Axial slice | Head
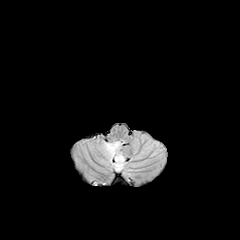
FLAIR magnetic resonance.
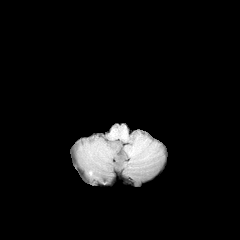
T1-weighted magnetic resonance.
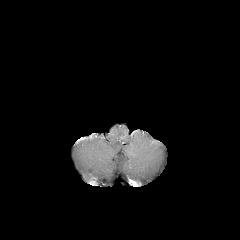
Post-contrast T1-weighted MR image of the same slice.
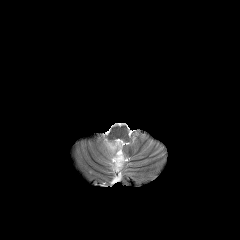
T2-weighted MRI.
peritumoral edema — x1=104, y1=142, x2=124, y2=170